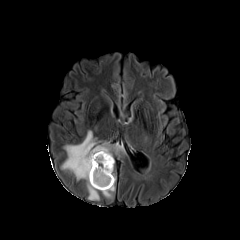
FLAIR magnetic resonance.
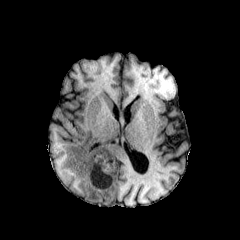
T1-weighted MR of the same slice.
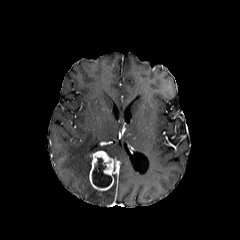
Same slice, post-contrast T1-weighted magnetic resonance.
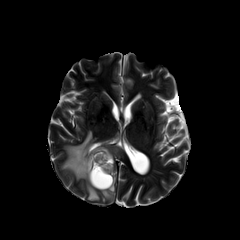
T2-weighted MRI.
Axial slice | Brain
peritumoral edema: bbox=[61, 130, 125, 200]; bbox=[101, 174, 115, 198] | necrotic tumor core: bbox=[92, 158, 111, 187] | enhancing tumor: bbox=[89, 151, 114, 190]